Slice 139 of 155
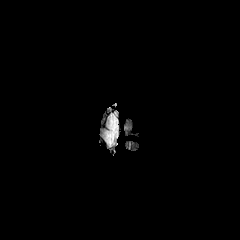
FLAIR MR image.
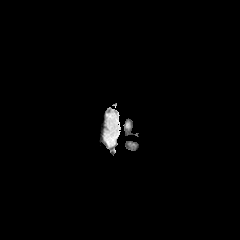
Same slice, T1-weighted MRI.
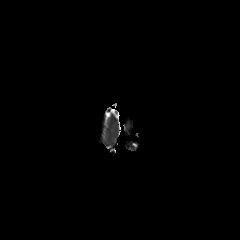
Post-contrast T1-weighted magnetic resonance of the same slice.
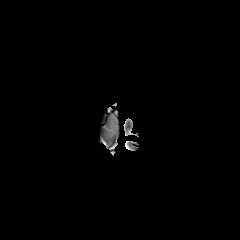
T2-weighted MR.
The peritumoral edema is at [x1=105, y1=114, x2=117, y2=144].